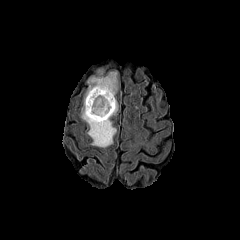
FLAIR MR.
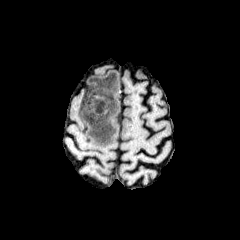
T1-weighted magnetic resonance.
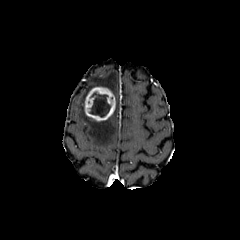
Post-contrast T1-weighted magnetic resonance of the same slice.
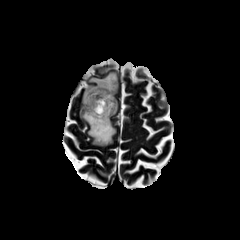
T2-weighted MR image.
Axial plane
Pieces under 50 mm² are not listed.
Annotated regions:
• enhancing tumor: x1=84 y1=87 x2=115 y2=121
• peritumoral edema: x1=84 y1=71 x2=117 y2=101, x1=81 y1=107 x2=116 y2=147
• necrotic tumor core: x1=89 y1=92 x2=110 y2=116